FLAIR MR image.
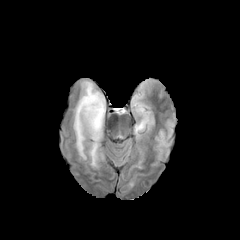
T1-weighted MR.
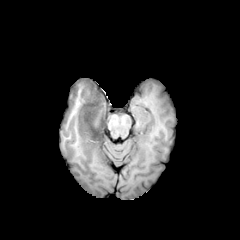
Post-contrast T1-weighted MR image.
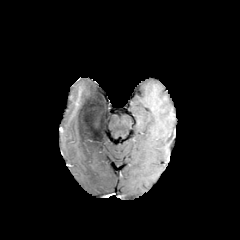
T2-weighted MR image.
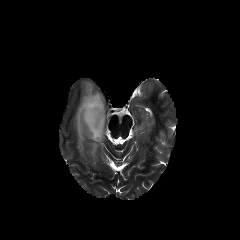
Head | Axial view
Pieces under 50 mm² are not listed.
necrotic_tumor_core:
  - 78:89:103:140
peritumoral_edema:
  - 88:140:100:166
  - 74:82:94:158